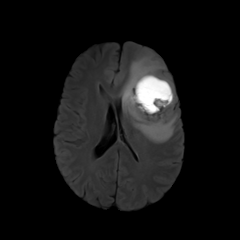
FLAIR MR image.
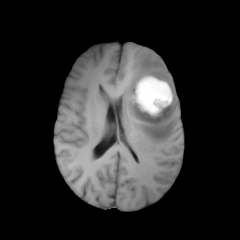
T1-weighted MR of the same slice.
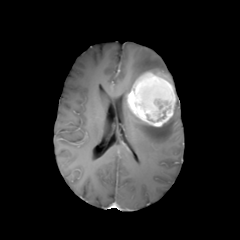
Same slice, post-contrast T1-weighted MRI.
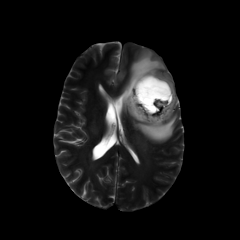
Same slice, T2-weighted MR.
Brain | Axial slice
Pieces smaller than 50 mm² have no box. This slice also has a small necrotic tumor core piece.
The largest peritumoral edema region is bounded by 120,50,177,142. The enhancing tumor is bounded by 127,72,175,126.